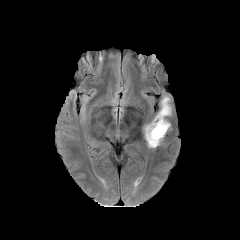
FLAIR magnetic resonance.
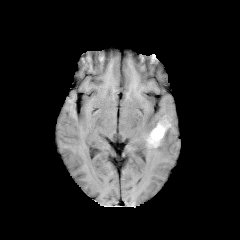
T1-weighted MRI.
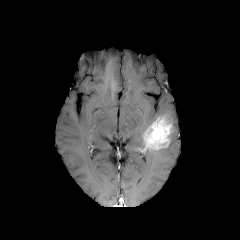
Same slice, post-contrast T1-weighted MR.
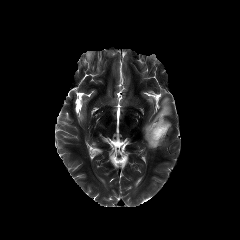
T2-weighted MR.
240x240. Brain.
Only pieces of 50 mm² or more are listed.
{
  "enhancing_tumor": [
    "144, 116, 171, 148"
  ],
  "peritumoral_edema": [
    "143, 96, 171, 132"
  ]
}